Axial plane. Brain.
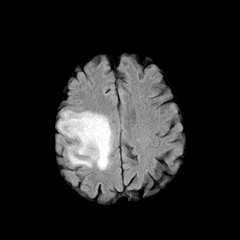
FLAIR magnetic resonance.
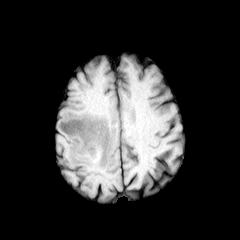
T1-weighted MR.
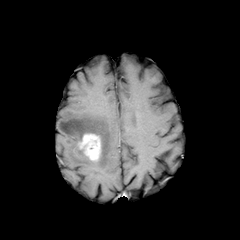
Post-contrast T1-weighted MR of the same slice.
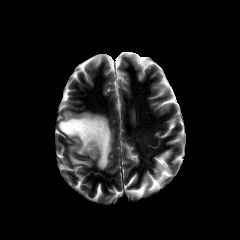
Same slice, T2-weighted MRI.
peritumoral edema: bounding box 58 110 113 170
enhancing tumor: bounding box 78 133 101 160